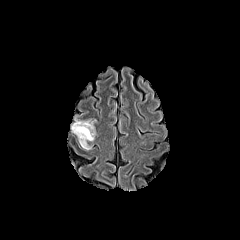
FLAIR MR.
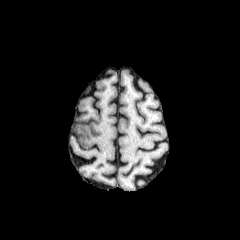
T1-weighted MRI.
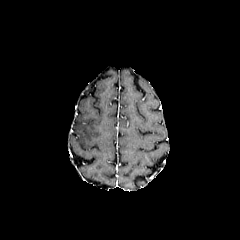
Post-contrast T1-weighted MRI of the same slice.
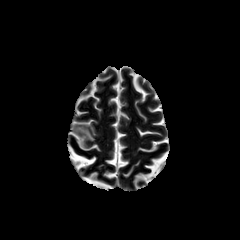
Same slice, T2-weighted MRI.
peritumoral edema at (73,120,95,149)